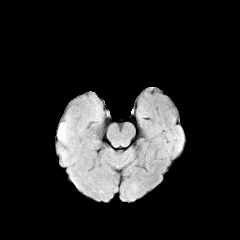
FLAIR magnetic resonance.
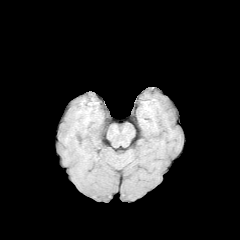
T1-weighted MR image of the same slice.
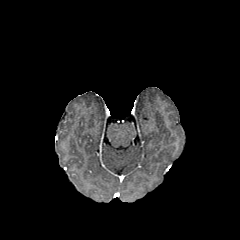
Same slice, post-contrast T1-weighted MR image.
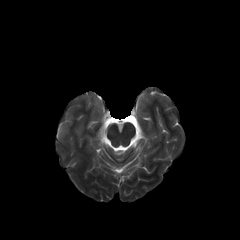
Same slice, T2-weighted MR.
Image size 240x240 | Brain | Axial plane
The peritumoral edema is located at (58, 117, 70, 142).